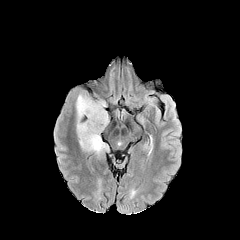
FLAIR magnetic resonance.
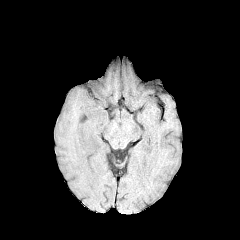
T1-weighted magnetic resonance.
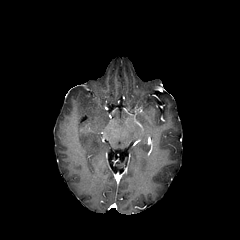
Post-contrast T1-weighted MR.
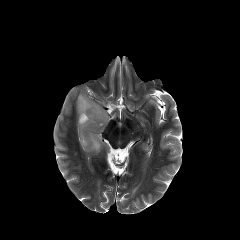
T2-weighted MR image.
Brain, Axial view
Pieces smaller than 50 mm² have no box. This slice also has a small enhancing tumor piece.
Segmented structures:
- peritumoral edema: bbox(76, 92, 108, 156)